Axial view
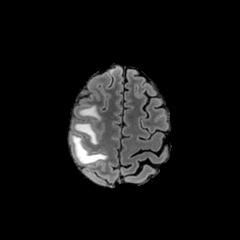
FLAIR MR.
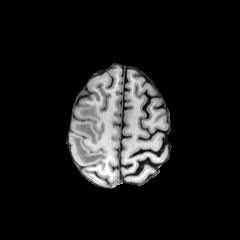
Same slice, T1-weighted MR image.
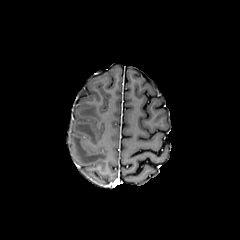
Post-contrast T1-weighted magnetic resonance.
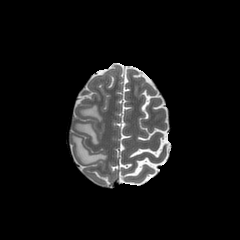
Same slice, T2-weighted MRI.
peritumoral edema: bounding box left=75, top=123, right=97, bottom=144; left=80, top=106, right=100, bottom=120; left=71, top=136, right=106, bottom=163